Image size 240x240. Image width 240 mm, 1.00 mm slice spacing.
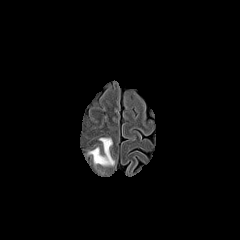
FLAIR MR image.
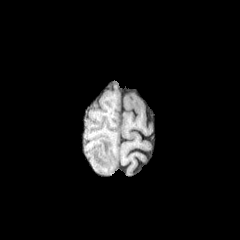
T1-weighted MR image.
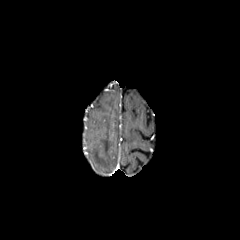
Post-contrast T1-weighted MR of the same slice.
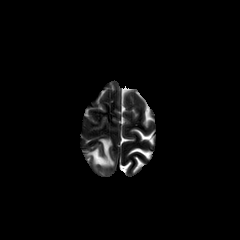
T2-weighted MR image.
peritumoral edema: bounding box 89:138:114:166